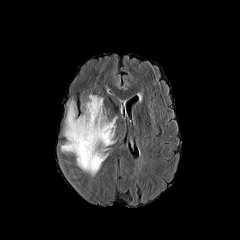
FLAIR magnetic resonance.
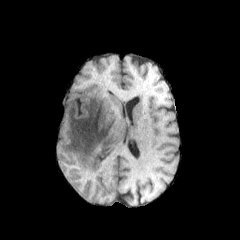
T1-weighted MRI of the same slice.
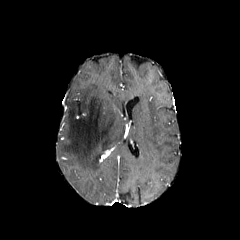
Post-contrast T1-weighted magnetic resonance.
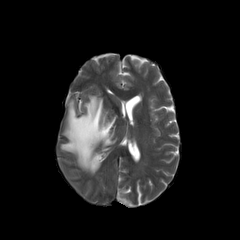
Same slice, T2-weighted magnetic resonance.
Axial view
{
  "peritumoral_edema": [
    "[x1=61, y1=95, x2=116, y2=175]"
  ]
}